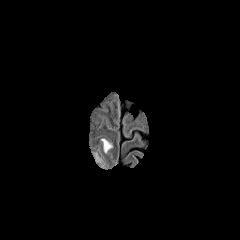
FLAIR MR.
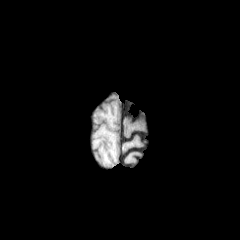
T1-weighted MR image of the same slice.
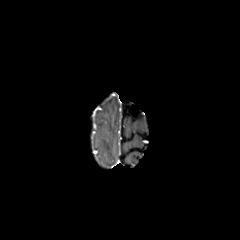
Post-contrast T1-weighted MR image.
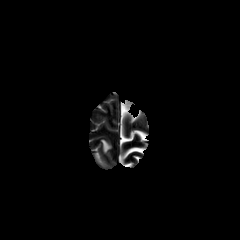
T2-weighted MRI.
Head; Axial plane
{
  "peritumoral_edema": [
    "101:139:112:152"
  ]
}